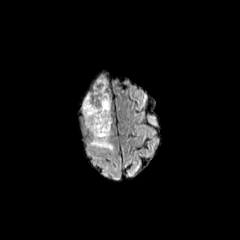
FLAIR MRI.
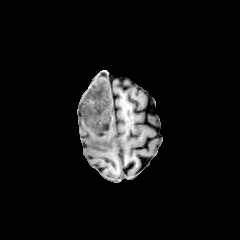
T1-weighted MR.
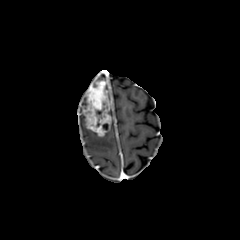
Same slice, post-contrast T1-weighted magnetic resonance.
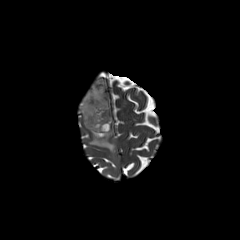
T2-weighted MR image.
Head
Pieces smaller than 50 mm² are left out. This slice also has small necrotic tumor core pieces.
The 2 largest peritumoral edema regions are bounded by [89,129,114,151], [81,95,88,129]. The enhancing tumor is bounded by [82,80,111,137].